FLAIR MR.
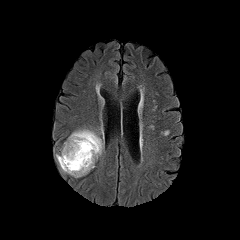
T1-weighted MRI.
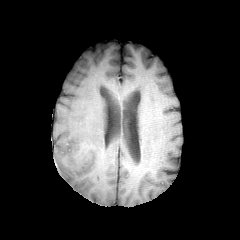
Post-contrast T1-weighted MRI.
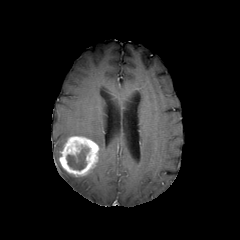
T2-weighted magnetic resonance.
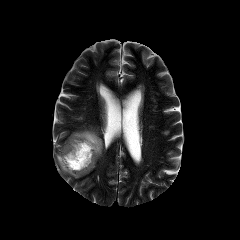
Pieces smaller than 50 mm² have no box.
necrotic tumor core at (x1=66, y1=147, x2=89, y2=170)
enhancing tumor at (x1=59, y1=136, x2=99, y2=176)
peritumoral edema at (x1=69, y1=128, x2=104, y2=156), (x1=56, y1=152, x2=68, y2=173)